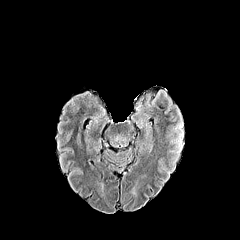
FLAIR MRI.
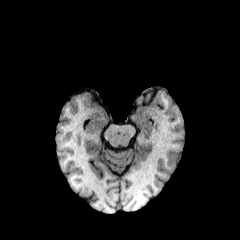
T1-weighted MRI.
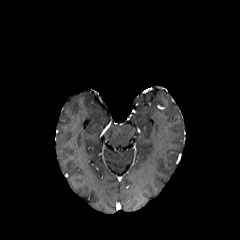
Same slice, post-contrast T1-weighted magnetic resonance.
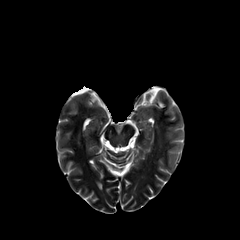
Same slice, T2-weighted magnetic resonance.
Axial slice | Brain
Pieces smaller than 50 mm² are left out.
The largest peritumoral edema region is at [171,121,183,152].